Image size 240x240. Slice 52/155. Image width 240 mm, 1.00 mm slice spacing. Axial view. Brain.
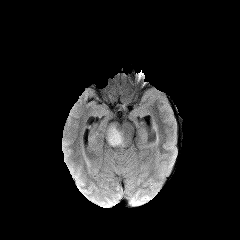
FLAIR MRI.
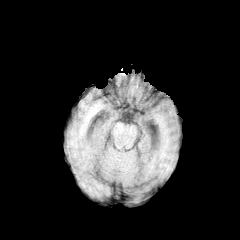
T1-weighted MRI.
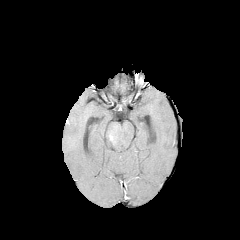
Post-contrast T1-weighted MR image.
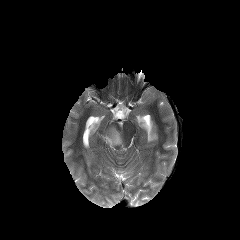
T2-weighted magnetic resonance.
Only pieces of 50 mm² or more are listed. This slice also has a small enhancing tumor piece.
- peritumoral edema: l=107, t=127, r=122, b=146